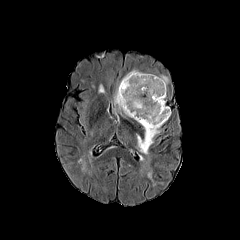
FLAIR MRI.
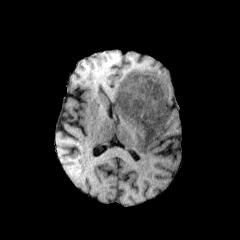
T1-weighted MRI of the same slice.
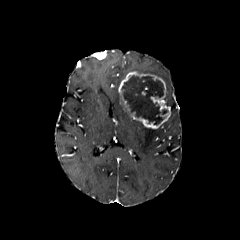
Post-contrast T1-weighted MR image.
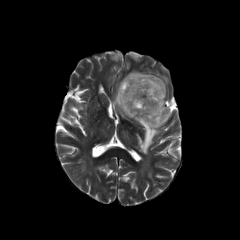
T2-weighted MR.
Head; Axial slice; 240x240 px
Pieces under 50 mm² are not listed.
Findings:
- enhancing tumor: [118,71,170,129]
- peritumoral edema: [158,75,168,86], [114,83,128,116], [137,127,160,154]
- necrotic tumor core: [122,76,167,124]